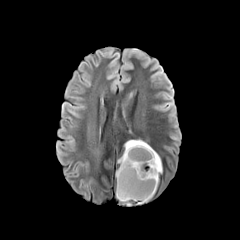
FLAIR magnetic resonance.
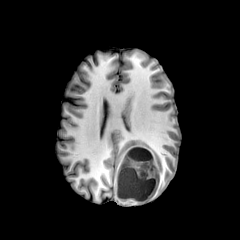
T1-weighted MRI.
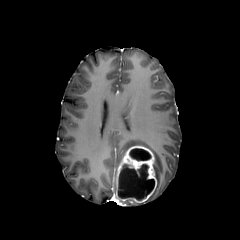
Post-contrast T1-weighted MRI.
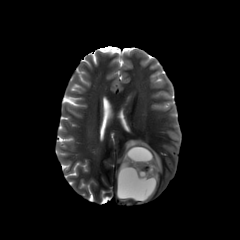
T2-weighted magnetic resonance of the same slice.
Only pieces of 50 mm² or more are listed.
peritumoral edema: <box>118,140,162,193</box> | necrotic tumor core: <box>129,148,150,160</box>, <box>118,164,154,200</box> | enhancing tumor: <box>116,145,156,202</box>